Brain. 240x240 px.
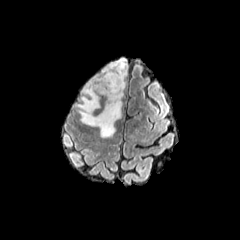
FLAIR magnetic resonance.
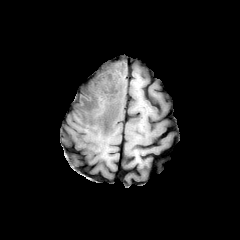
T1-weighted MR.
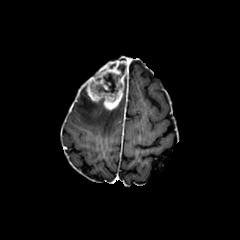
Post-contrast T1-weighted MR image of the same slice.
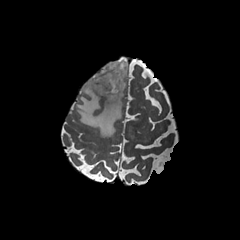
T2-weighted MRI.
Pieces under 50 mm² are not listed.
{"enhancing_tumor": ["x1=84, y1=59, x2=128, y2=110"], "peritumoral_edema": ["x1=75, y1=86, x2=122, y2=137"], "necrotic_tumor_core": ["x1=117, y1=64, x2=125, y2=74", "x1=91, y1=73, x2=121, y2=93"]}